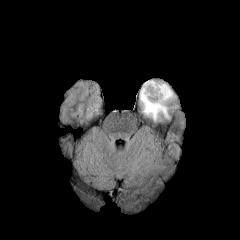
FLAIR magnetic resonance.
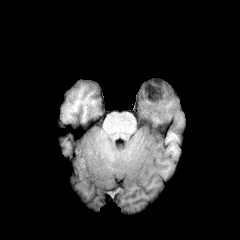
T1-weighted MRI of the same slice.
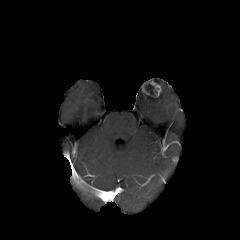
Post-contrast T1-weighted MR image.
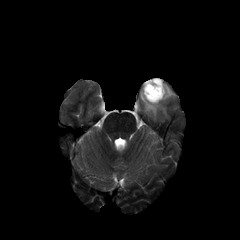
T2-weighted MR.
240x240, Axial plane, Brain
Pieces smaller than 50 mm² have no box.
Findings:
* enhancing tumor: (142,79,165,103)
* peritumoral edema: (139,82,175,121)
* necrotic tumor core: (145,84,156,95), (146,92,162,101)